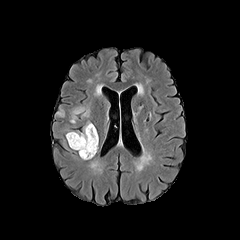
FLAIR MR.
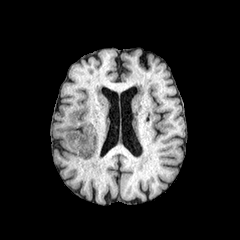
Same slice, T1-weighted MR image.
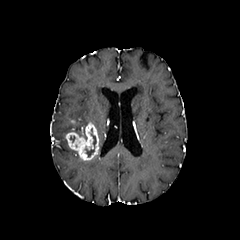
Post-contrast T1-weighted MR image.
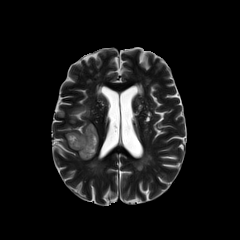
Same slice, T2-weighted MRI.
Axial slice; Brain; Image size 240x240
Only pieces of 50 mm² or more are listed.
<segmentation>
  <enhancing_tumor>66:122:98:160</enhancing_tumor>
  <peritumoral_edema>71:107:89:120</peritumoral_edema>
  <necrotic_tumor_core>85:128:96:156</necrotic_tumor_core>
</segmentation>